Brain
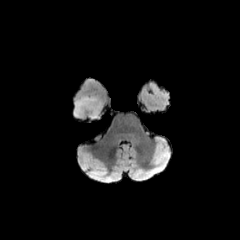
FLAIR MRI.
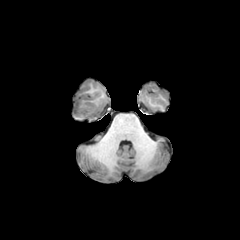
T1-weighted MRI.
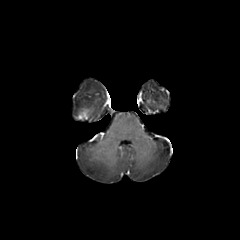
Post-contrast T1-weighted MR.
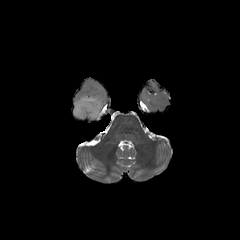
T2-weighted MR of the same slice.
The enhancing tumor lies within [77, 108, 92, 119]. The peritumoral edema lies within [74, 95, 102, 118].